FLAIR magnetic resonance.
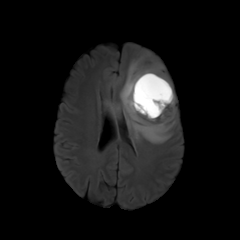
T1-weighted MR.
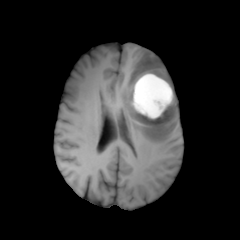
Post-contrast T1-weighted MR image.
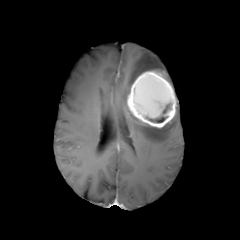
T2-weighted magnetic resonance.
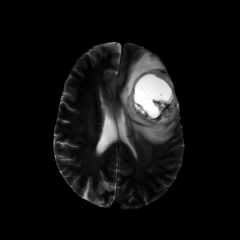
Brain. Axial plane.
necrotic tumor core: 146:116:167:122, 162:103:170:114
peritumoral edema: 120:50:176:143
enhancing tumor: 127:71:176:127